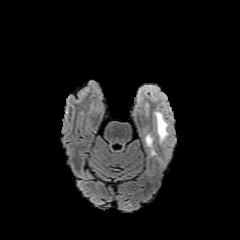
FLAIR MR.
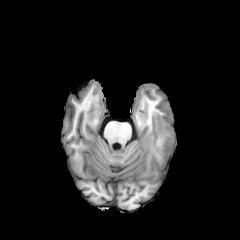
T1-weighted magnetic resonance of the same slice.
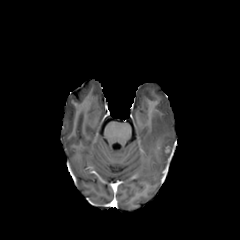
Post-contrast T1-weighted MR.
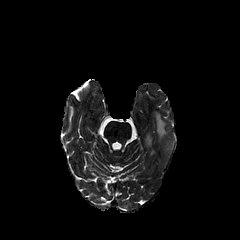
T2-weighted magnetic resonance.
Axial view; Image size 240x240
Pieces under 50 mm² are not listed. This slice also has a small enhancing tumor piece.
peritumoral edema = (145, 134, 152, 146), (155, 112, 168, 141)